FLAIR magnetic resonance.
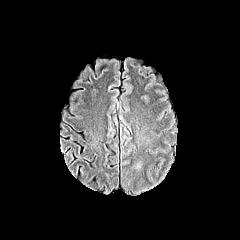
T1-weighted MRI.
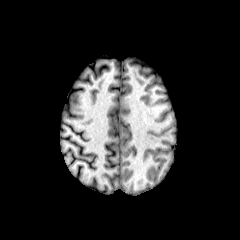
Post-contrast T1-weighted MR.
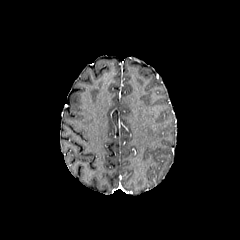
T2-weighted MR image.
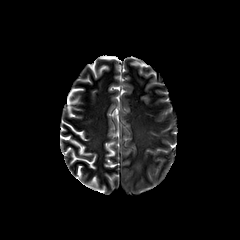
<segmentation>
  <peritumoral_edema>[x1=133, y1=162, x2=142, y2=170]</peritumoral_edema>
</segmentation>